Slice 115 of 155. 240x240 px. Image width 240 mm. Axial plane.
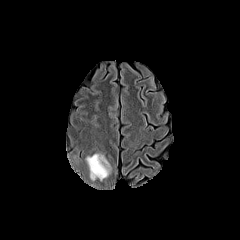
FLAIR MR image.
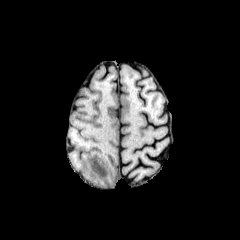
T1-weighted magnetic resonance.
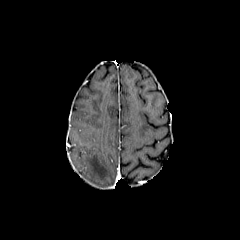
Post-contrast T1-weighted MRI.
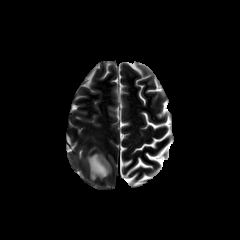
T2-weighted MR of the same slice.
peritumoral_edema:
  - 86 153 111 180